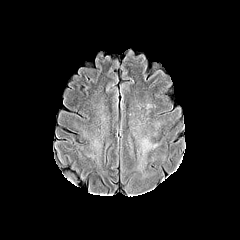
FLAIR MR.
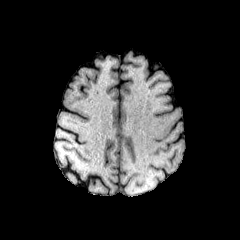
T1-weighted magnetic resonance.
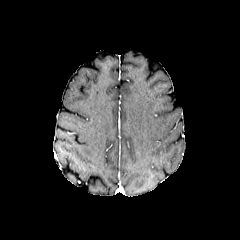
Post-contrast T1-weighted MR of the same slice.
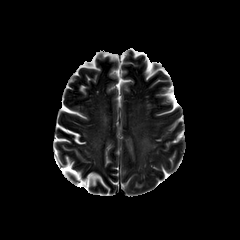
T2-weighted MR.
Findings:
- peritumoral edema: [x1=142, y1=137, x2=157, y2=153]